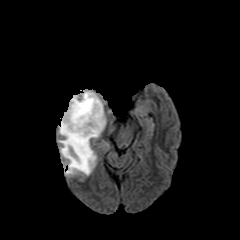
FLAIR MR.
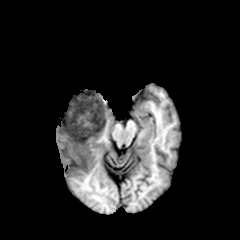
Same slice, T1-weighted magnetic resonance.
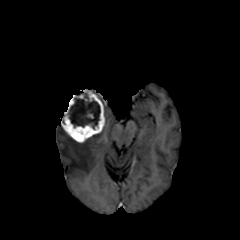
Post-contrast T1-weighted MR image.
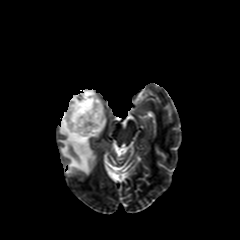
T2-weighted MR.
Head | Axial plane
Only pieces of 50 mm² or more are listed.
{"necrotic_tumor_core": ["[x1=68, y1=98, x2=100, y2=128]"], "peritumoral_edema": ["[x1=58, y1=126, x2=99, y2=175]"], "enhancing_tumor": ["[x1=61, y1=89, x2=105, y2=142]"]}